Slice index 77, Axial view, Brain
FLAIR MR image.
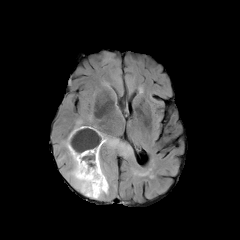
T1-weighted MR.
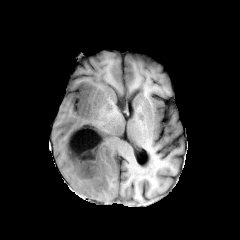
Post-contrast T1-weighted MR.
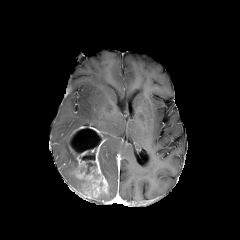
T2-weighted MR image.
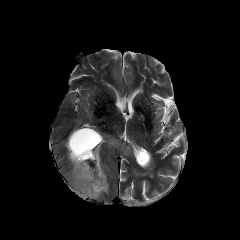
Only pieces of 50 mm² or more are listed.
The 4 largest peritumoral edema regions appear at (63, 135, 83, 193), (74, 119, 82, 129), (103, 133, 129, 153), (99, 152, 106, 179). The 2 largest necrotic tumor core regions appear at (81, 151, 96, 174), (68, 128, 101, 154). The enhancing tumor lies within (68, 126, 108, 198).